FLAIR MR image.
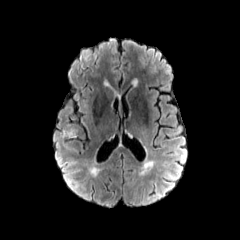
T1-weighted MR.
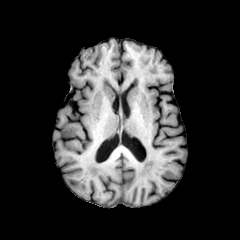
Post-contrast T1-weighted MRI.
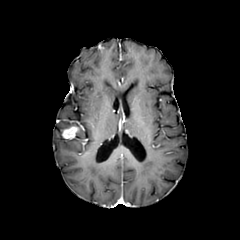
T2-weighted MR image.
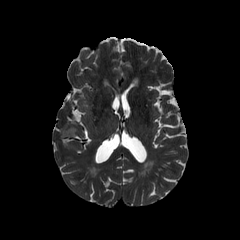
Axial slice
enhancing tumor — rect(62, 126, 78, 138)